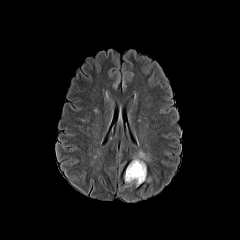
FLAIR MR image.
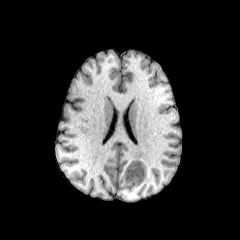
T1-weighted MRI.
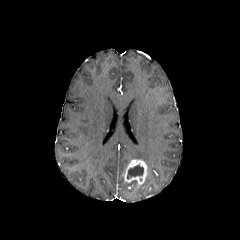
Post-contrast T1-weighted MR image.
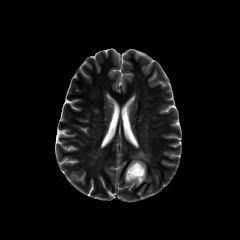
T2-weighted MR image of the same slice.
Brain
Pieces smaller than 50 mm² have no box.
necrotic tumor core at [127, 165, 143, 179]
peritumoral edema at [133, 151, 149, 161]
enhancing tumor at [124, 159, 147, 185]